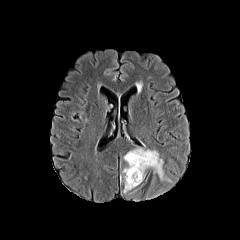
FLAIR magnetic resonance.
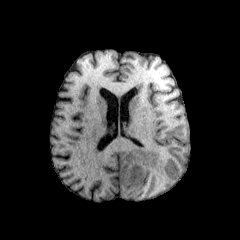
T1-weighted MR image.
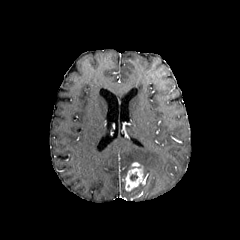
Post-contrast T1-weighted MR image.
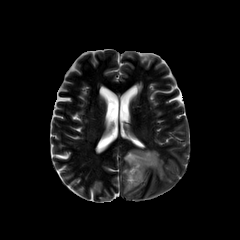
Same slice, T2-weighted MRI.
Head, Image size 240x240
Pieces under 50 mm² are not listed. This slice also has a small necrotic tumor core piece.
Segmented structures:
• enhancing tumor: bbox=[124, 162, 145, 191]
• peritumoral edema: bbox=[122, 148, 171, 182]